Head. Slice 119/155.
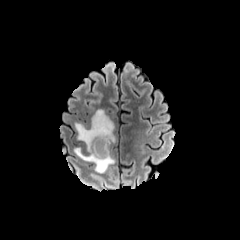
FLAIR MR image.
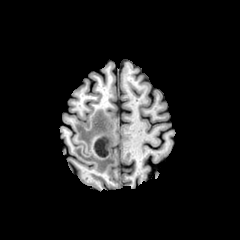
Same slice, T1-weighted magnetic resonance.
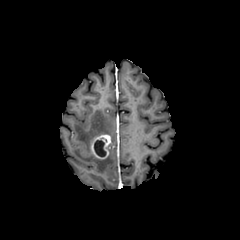
Same slice, post-contrast T1-weighted MR.
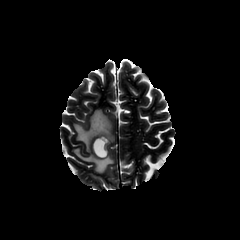
T2-weighted MRI of the same slice.
<segmentation>
  <enhancing_tumor><box>91,134,111,159</box></enhancing_tumor>
  <necrotic_tumor_core><box>94,140,106,156</box></necrotic_tumor_core>
  <peritumoral_edema><box>74,109,114,173</box></peritumoral_edema>
</segmentation>